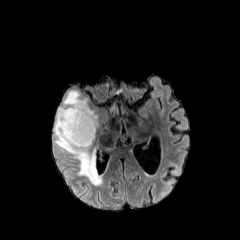
FLAIR magnetic resonance.
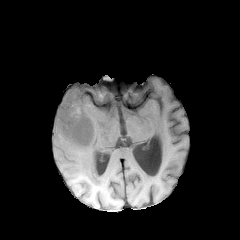
Same slice, T1-weighted MR.
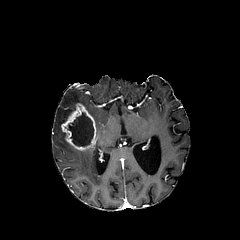
Post-contrast T1-weighted MR image.
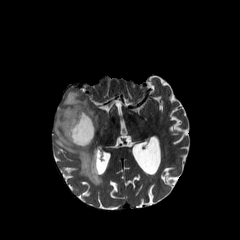
T2-weighted MR.
Brain
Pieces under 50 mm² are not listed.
The largest peritumoral edema region appears at left=54, top=90, right=102, bottom=185. The enhancing tumor appears at left=61, top=103, right=96, bottom=151. The necrotic tumor core appears at left=65, top=112, right=93, bottom=146.